Axial slice. Slice index 42.
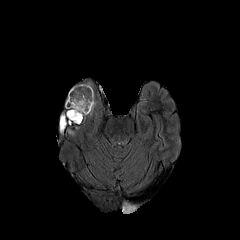
FLAIR MRI.
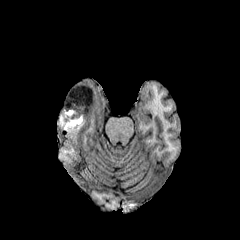
T1-weighted magnetic resonance of the same slice.
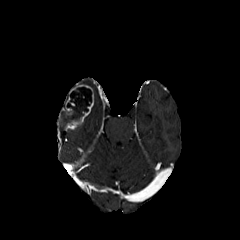
Post-contrast T1-weighted MRI of the same slice.
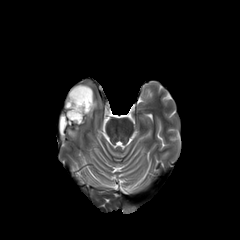
Same slice, T2-weighted magnetic resonance.
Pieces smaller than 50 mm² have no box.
{"necrotic_tumor_core": ["(left=62, top=87, right=91, bottom=125)"], "enhancing_tumor": ["(left=66, top=84, right=93, bottom=128)"], "peritumoral_edema": ["(left=89, top=101, right=96, bottom=117)", "(left=60, top=113, right=65, bottom=132)"]}